FLAIR MRI.
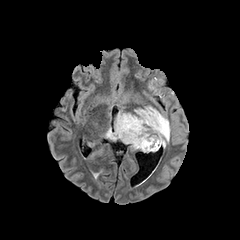
T1-weighted MR.
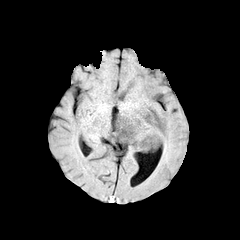
Post-contrast T1-weighted MR.
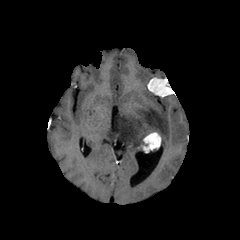
T2-weighted MR image.
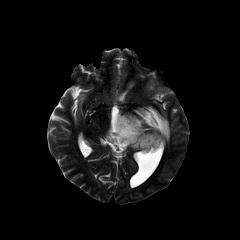
Axial plane
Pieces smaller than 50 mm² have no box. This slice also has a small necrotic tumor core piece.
{
  "peritumoral_edema": [
    "[x1=105, y1=106, x2=170, y2=149]"
  ],
  "enhancing_tumor": [
    "[x1=140, y1=132, x2=161, y2=152]"
  ]
}